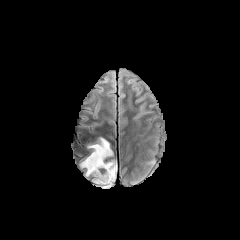
FLAIR magnetic resonance.
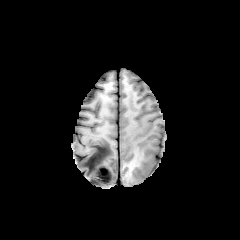
T1-weighted MR image.
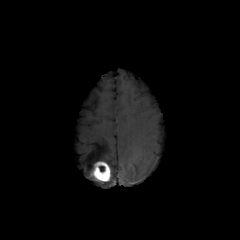
Post-contrast T1-weighted MR of the same slice.
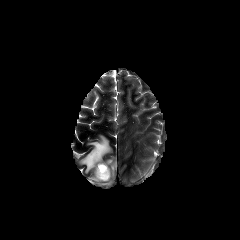
T2-weighted magnetic resonance.
Head | 240x240
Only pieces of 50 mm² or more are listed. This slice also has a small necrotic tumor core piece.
The enhancing tumor is bounded by bbox=[91, 161, 111, 183]. The 2 largest peritumoral edema regions are bounded by bbox=[101, 160, 117, 187]; bbox=[80, 137, 112, 175].